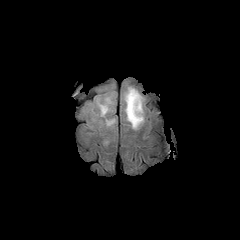
FLAIR MRI.
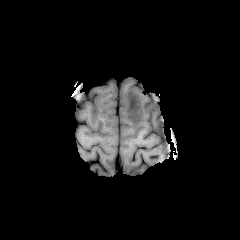
T1-weighted MR.
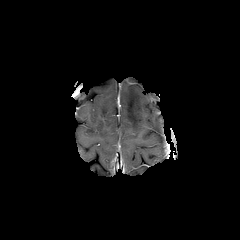
Post-contrast T1-weighted magnetic resonance of the same slice.
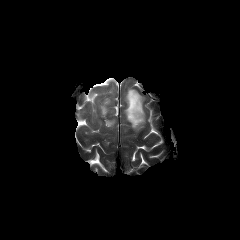
T2-weighted MR.
Axial slice
peritumoral edema at (x1=106, y1=119, x2=115, y2=126), (x1=124, y1=87, x2=144, y2=129), (x1=100, y1=98, x2=109, y2=116)